Axial view | Head
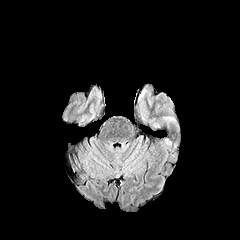
FLAIR magnetic resonance.
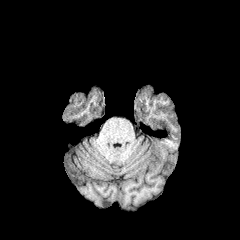
T1-weighted MR of the same slice.
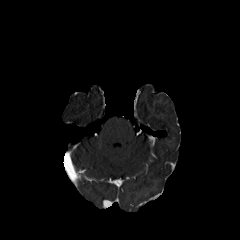
Same slice, post-contrast T1-weighted MR image.
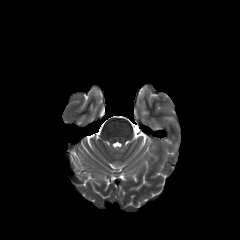
T2-weighted MR image of the same slice.
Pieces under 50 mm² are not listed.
peritumoral edema: {"x1": 162, "y1": 116, "x2": 175, "y2": 125}